FLAIR MR.
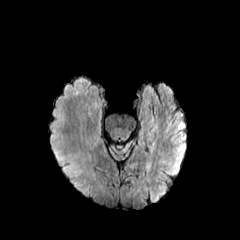
T1-weighted MR image.
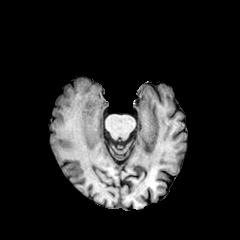
Post-contrast T1-weighted MR.
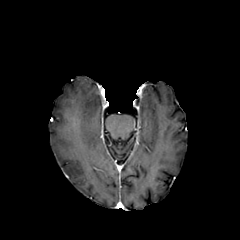
T2-weighted MRI.
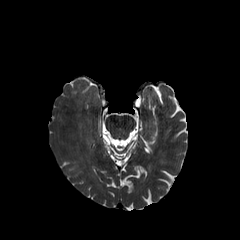
Axial view
peritumoral edema at (left=49, top=139, right=91, bottom=196)